FLAIR MRI.
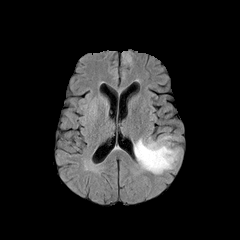
T1-weighted MR image.
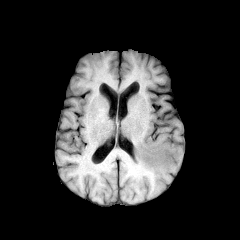
Post-contrast T1-weighted MRI.
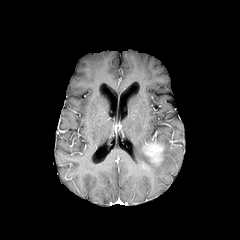
T2-weighted MRI.
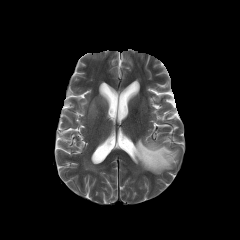
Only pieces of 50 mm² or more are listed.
peritumoral edema: bounding box (x1=134, y1=136, x2=178, y2=174), (x1=83, y1=97, x2=97, y2=124)
enhancing tumor: bounding box (x1=143, y1=143, x2=163, y2=164)